Axial plane; 240x240 px; Image covers 240 mm x 240 mm
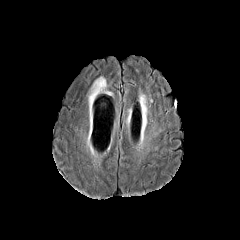
FLAIR MR.
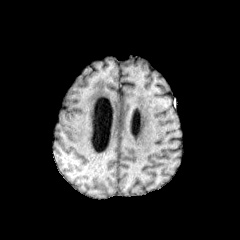
T1-weighted magnetic resonance.
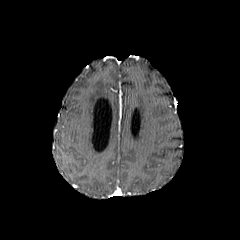
Post-contrast T1-weighted MRI of the same slice.
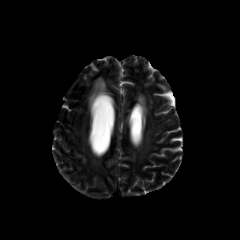
T2-weighted MR image.
Segmented structures:
• peritumoral edema: l=89, t=77, r=106, b=101